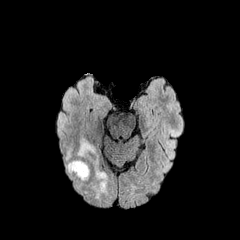
FLAIR MRI.
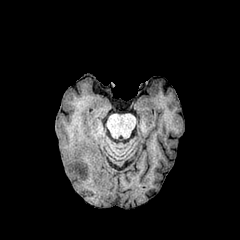
T1-weighted magnetic resonance of the same slice.
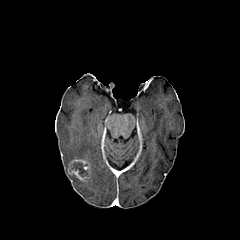
Post-contrast T1-weighted MR image.
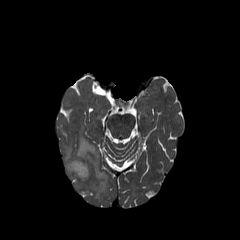
T2-weighted MRI.
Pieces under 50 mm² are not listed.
Segmented structures:
- necrotic tumor core: [73,162,85,176]
- enhancing tumor: [68,159,89,180]
- peritumoral edema: [75,138,107,197], [65,148,90,187]